FLAIR MR.
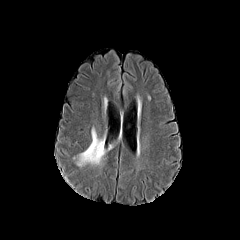
T1-weighted MRI.
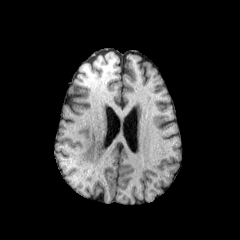
Post-contrast T1-weighted MR.
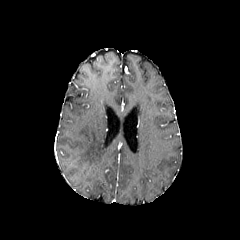
T2-weighted MR.
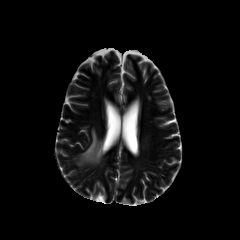
240x240 px
<segmentation>
  <peritumoral_edema>(x1=77, y1=127, x2=106, y2=166)</peritumoral_edema>
</segmentation>